FLAIR MR.
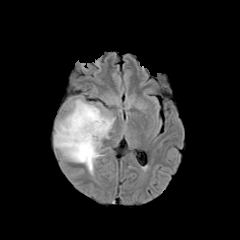
T1-weighted MRI.
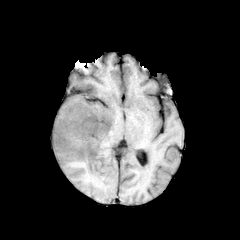
Post-contrast T1-weighted magnetic resonance.
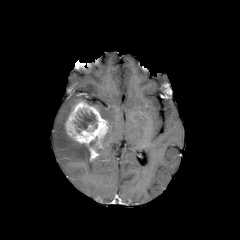
T2-weighted MRI.
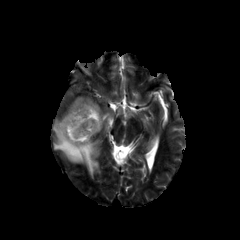
Image size 240x240. Head.
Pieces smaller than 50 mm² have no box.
peritumoral edema: bounding box (88,102,115,138), (54,97,96,175)
necrotic tumor core: bounding box (74,111,96,129)
enhancing tumor: bounding box (65,100,110,160)